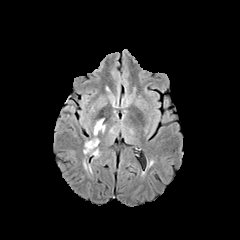
FLAIR MR.
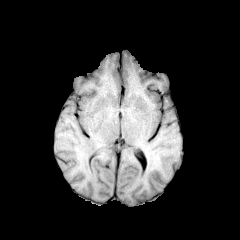
Same slice, T1-weighted magnetic resonance.
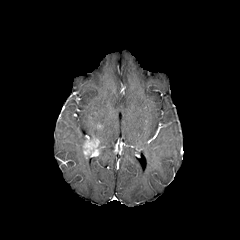
Post-contrast T1-weighted MRI of the same slice.
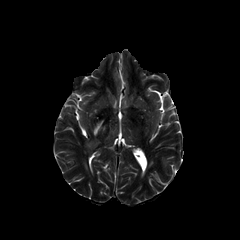
Same slice, T2-weighted MR image.
Head, 240x240 px
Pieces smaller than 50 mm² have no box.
enhancing tumor = (84,139,98,154)
peritumoral edema = (93,119,105,135)